240x240 px. Brain. Axial slice.
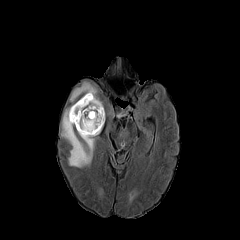
FLAIR MRI.
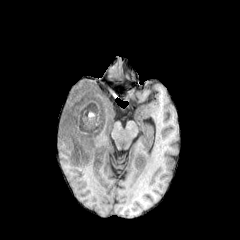
T1-weighted MR image of the same slice.
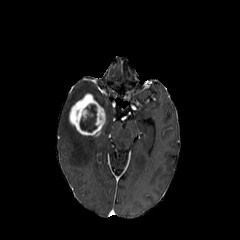
Post-contrast T1-weighted MRI of the same slice.
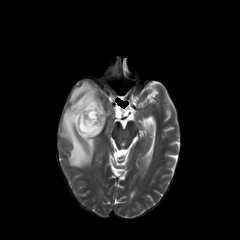
T2-weighted MRI.
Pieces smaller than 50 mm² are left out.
{
  "peritumoral_edema": [
    "bbox=[61, 81, 103, 167]"
  ],
  "enhancing_tumor": [
    "bbox=[69, 93, 105, 136]"
  ],
  "necrotic_tumor_core": [
    "bbox=[80, 103, 99, 132]"
  ]
}